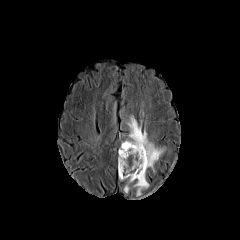
FLAIR magnetic resonance.
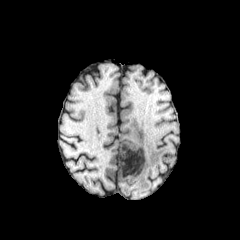
Same slice, T1-weighted MRI.
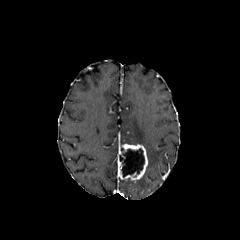
Post-contrast T1-weighted MRI.
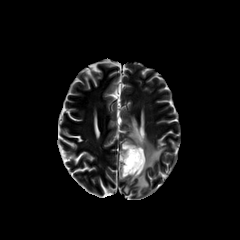
T2-weighted MRI of the same slice.
Axial slice | Head
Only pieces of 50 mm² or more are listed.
peritumoral edema at [124,179,133,193], [121,116,164,196]
necrotic tumor core at [119,148,144,177]
enhancing tumor at [118,144,147,180]